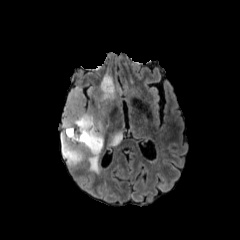
FLAIR MR image.
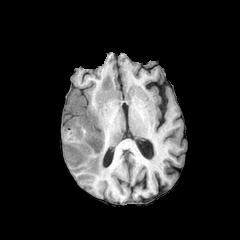
T1-weighted MR image.
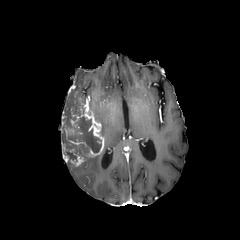
Same slice, post-contrast T1-weighted MR image.
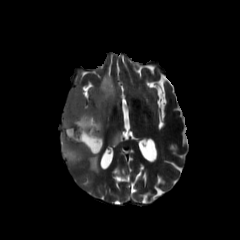
T2-weighted MR image of the same slice.
240x240. Brain. Axial view.
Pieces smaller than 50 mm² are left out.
necrotic tumor core: bounding box [68,116,101,152], [65,111,75,126], [63,138,80,160]
peritumoral edema: bounding box [87,73,121,136], [63,85,84,110], [86,148,105,173], [108,126,123,150]
enhancing tumor: bounding box [60,94,104,166]